FLAIR magnetic resonance.
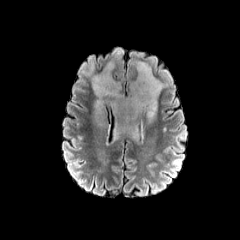
T1-weighted MR.
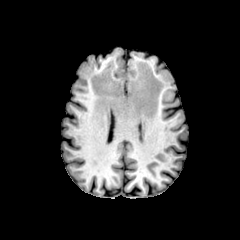
Post-contrast T1-weighted MR.
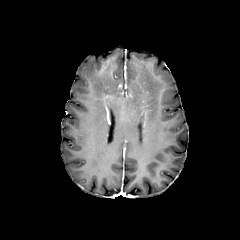
T2-weighted magnetic resonance.
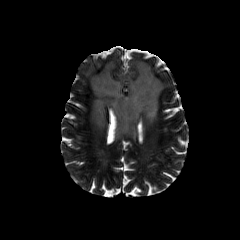
* peritumoral edema: l=92, t=61, r=165, b=136